FLAIR MR.
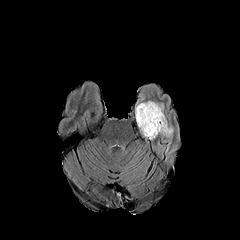
T1-weighted magnetic resonance.
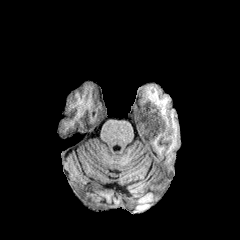
Post-contrast T1-weighted MR image.
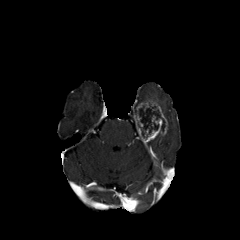
T2-weighted MR.
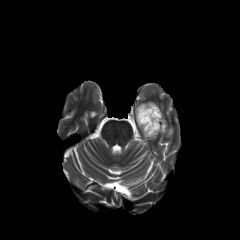
Axial view
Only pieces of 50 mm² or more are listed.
necrotic tumor core = (left=139, top=102, right=165, bottom=136)
enhancing tumor = (left=136, top=101, right=167, bottom=139)
peritumoral edema = (left=165, top=126, right=173, bottom=137)